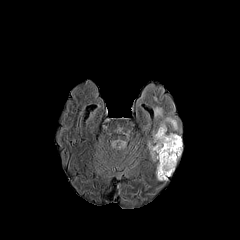
FLAIR MRI.
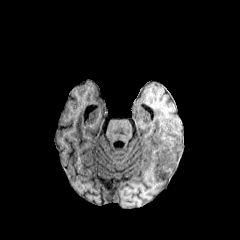
T1-weighted MRI of the same slice.
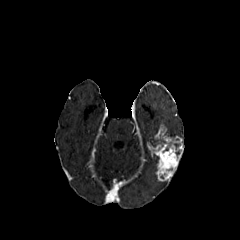
Post-contrast T1-weighted magnetic resonance.
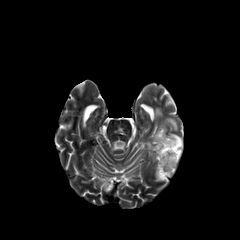
T2-weighted MRI.
Axial view
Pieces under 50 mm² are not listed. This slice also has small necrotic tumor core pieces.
The enhancing tumor is located at x1=147 y1=124 x2=183 y2=181. The 3 largest peritumoral edema regions are bounded by x1=150 y1=133 x2=158 y2=146, x1=154 y1=108 x2=162 y2=117, x1=160 y1=117 x2=178 y2=130.